240x240; Image width 240 mm, 1.00 mm slice spacing; Head; Slice 55 of 155
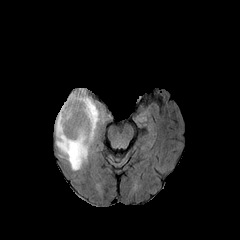
FLAIR MR image.
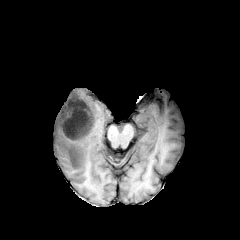
T1-weighted magnetic resonance.
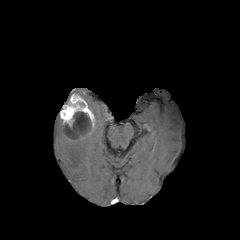
Same slice, post-contrast T1-weighted MR.
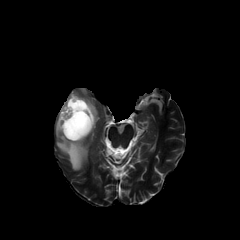
Same slice, T2-weighted MRI.
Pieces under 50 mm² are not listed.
<segmentation>
  <peritumoral_edema>55, 88, 102, 170</peritumoral_edema>
  <enhancing_tumor>60, 93, 95, 141</enhancing_tumor>
  <necrotic_tumor_core>65, 100, 91, 139</necrotic_tumor_core>
</segmentation>